FLAIR magnetic resonance.
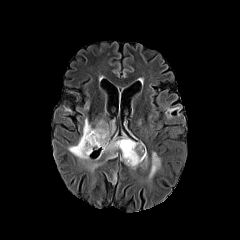
T1-weighted MRI.
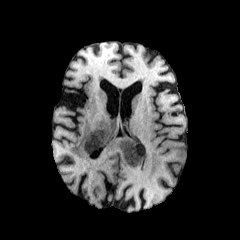
Post-contrast T1-weighted MR image.
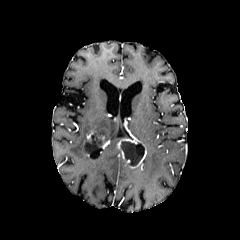
T2-weighted MRI.
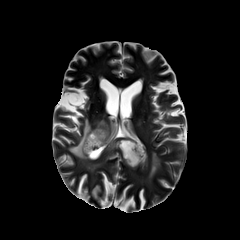
Brain
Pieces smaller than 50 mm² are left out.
enhancing tumor: box(117, 138, 146, 168) | necrotic tumor core: box(121, 141, 144, 166); box(83, 132, 103, 151) | peritumoral edema: box(149, 152, 160, 179); box(110, 169, 117, 184); box(89, 162, 100, 170); box(102, 135, 119, 159); box(69, 117, 116, 160); box(140, 156, 147, 168)